Brain. Slice 98 of 155. Axial slice.
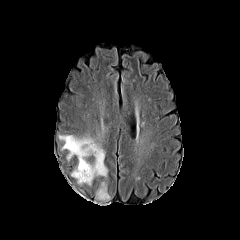
FLAIR MRI.
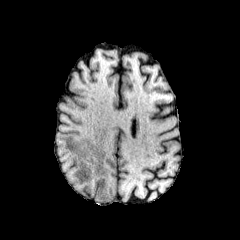
Same slice, T1-weighted MR.
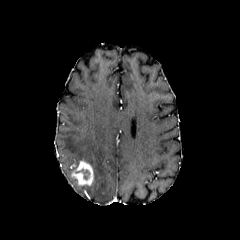
Post-contrast T1-weighted MRI.
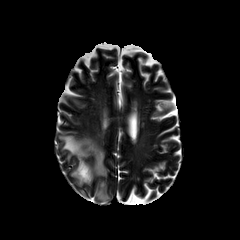
T2-weighted magnetic resonance of the same slice.
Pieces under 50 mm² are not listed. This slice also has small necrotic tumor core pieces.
enhancing tumor: [72,160,93,185] | peritumoral edema: [96,182,110,201], [59,135,108,179]